FLAIR MR image.
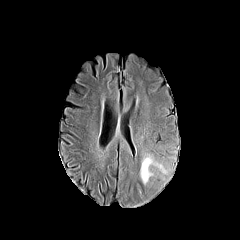
T1-weighted magnetic resonance.
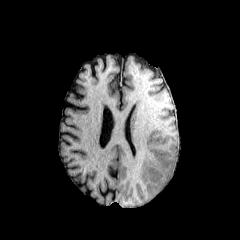
Post-contrast T1-weighted MR.
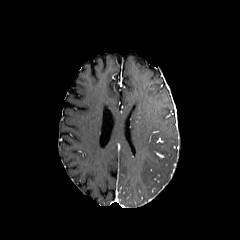
T2-weighted MRI.
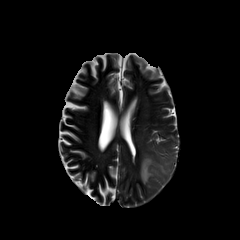
240x240 px. Head.
The peritumoral edema lies within bbox=[140, 155, 167, 184].